Axial view. Image size 240x240. Slice 84/155.
FLAIR magnetic resonance.
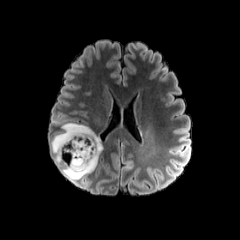
T1-weighted MR image.
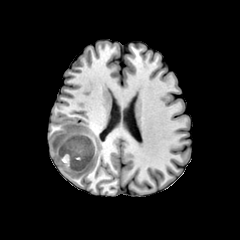
Post-contrast T1-weighted MR.
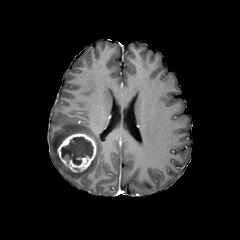
T2-weighted MR.
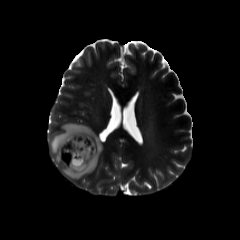
necrotic_tumor_core:
  - (x1=61, y1=136, x2=93, y2=164)
peritumoral_edema:
  - (x1=50, y1=122, x2=102, y2=180)
enhancing_tumor:
  - (x1=57, y1=133, x2=96, y2=172)